Slice 85/155. 240x240. Axial view.
FLAIR MR.
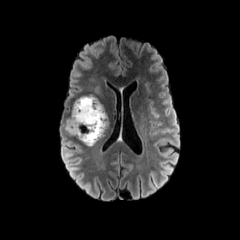
T1-weighted MR image.
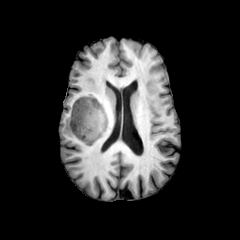
Post-contrast T1-weighted MRI.
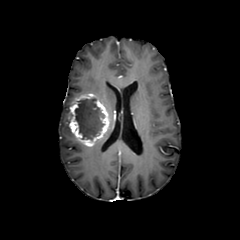
T2-weighted MR image.
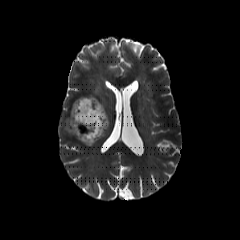
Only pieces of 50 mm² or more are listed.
necrotic tumor core at x1=75, y1=98, x2=104, y2=141
enhancing tumor at x1=69, y1=95, x2=109, y2=146
peritumoral edema at x1=89, y1=85, x2=101, y2=93; x1=65, y1=118, x2=73, y2=135